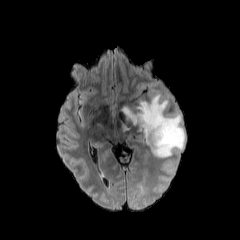
FLAIR MR.
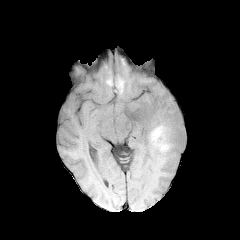
T1-weighted magnetic resonance of the same slice.
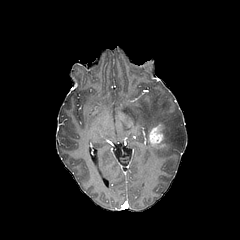
Same slice, post-contrast T1-weighted MRI.
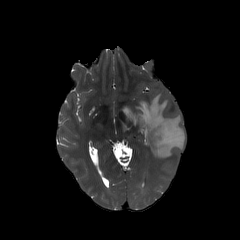
T2-weighted MRI.
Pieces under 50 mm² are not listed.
enhancing tumor at [149, 125, 163, 145]
peritumoral edema at [123, 93, 185, 158]